FLAIR MRI.
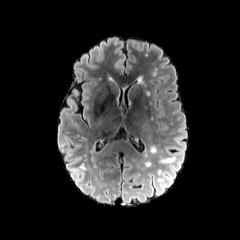
T1-weighted MRI.
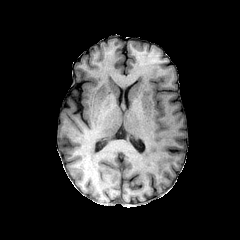
Post-contrast T1-weighted MR image.
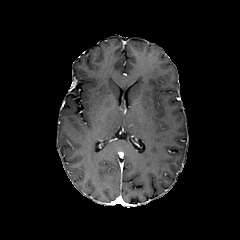
T2-weighted MRI.
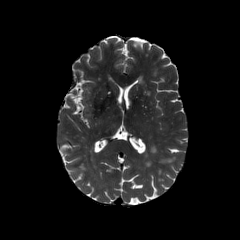
Brain
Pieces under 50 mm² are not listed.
peritumoral edema: 160:158:174:163